Head, Slice 93 of 155
FLAIR MR.
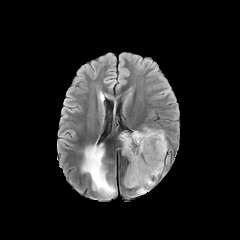
T1-weighted magnetic resonance.
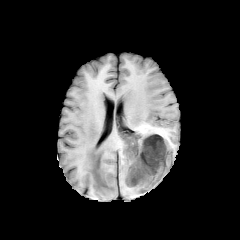
Post-contrast T1-weighted magnetic resonance.
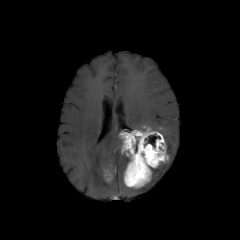
T2-weighted magnetic resonance.
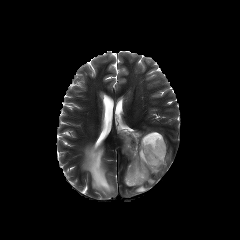
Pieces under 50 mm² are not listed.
<segmentation>
  <enhancing_tumor>left=104, top=170, right=111, bottom=181; left=119, top=128, right=169, bottom=187</enhancing_tumor>
  <necrotic_tumor_core>left=145, top=135, right=160, bottom=146</necrotic_tumor_core>
  <peritumoral_edema>left=142, top=126, right=164, bottom=138; left=81, top=144, right=116, bottom=198; left=136, top=159, right=169, bottom=193</peritumoral_edema>
</segmentation>